FLAIR MRI.
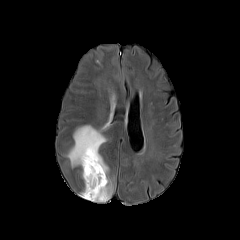
T1-weighted MRI.
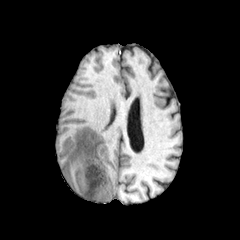
Post-contrast T1-weighted magnetic resonance.
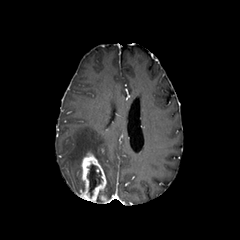
T2-weighted MR image.
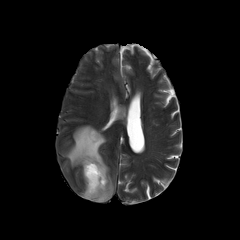
Axial slice.
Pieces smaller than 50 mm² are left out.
The largest peritumoral edema region is at 66,120,114,200. The necrotic tumor core lies within 87,164,102,196. 2 enhancing tumor regions are bounded by 99,194,107,202; 80,152,106,202.